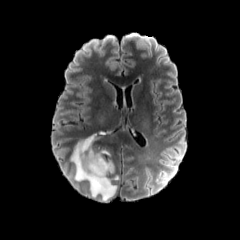
FLAIR MR.
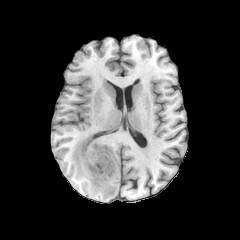
T1-weighted MR of the same slice.
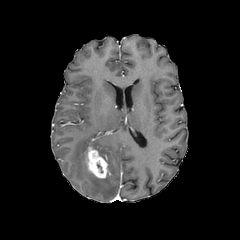
Post-contrast T1-weighted MR image.
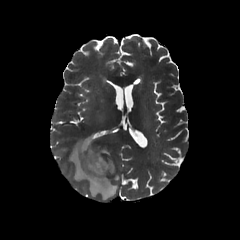
T2-weighted MR.
Image size 240x240
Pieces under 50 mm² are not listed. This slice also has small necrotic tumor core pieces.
• enhancing tumor: x1=85 y1=147 x2=109 y2=178
• peritumoral edema: x1=70 y1=135 x2=117 y2=200, x1=99 y1=150 x2=110 y2=157, x1=107 y1=160 x2=114 y2=172